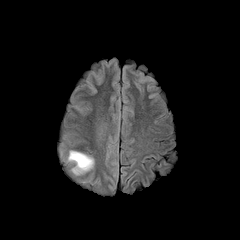
FLAIR magnetic resonance.
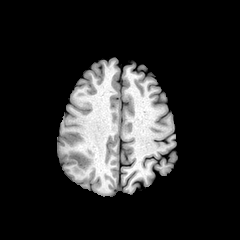
Same slice, T1-weighted MR.
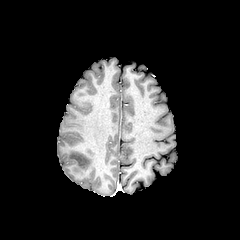
Post-contrast T1-weighted MR.
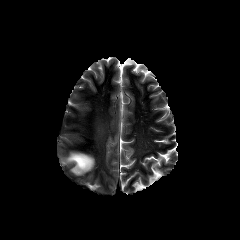
T2-weighted MRI.
Image size 240x240
Annotated regions:
* peritumoral edema: box=[68, 151, 93, 174]